Head | Slice 101 of 155 | Axial slice
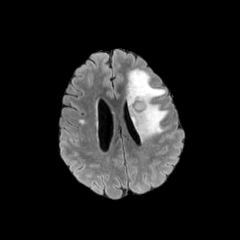
FLAIR magnetic resonance.
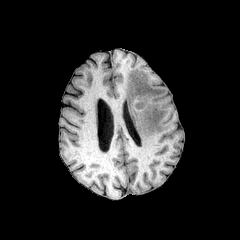
T1-weighted MR image.
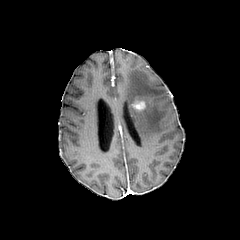
Post-contrast T1-weighted MR image.
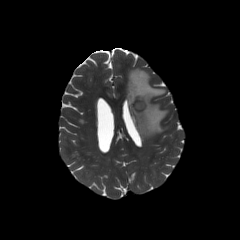
T2-weighted magnetic resonance of the same slice.
peritumoral edema at (127, 69, 167, 141)
enhancing tumor at (133, 101, 145, 109)